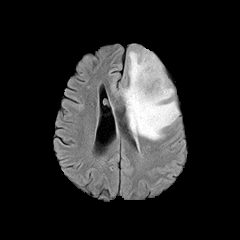
FLAIR magnetic resonance.
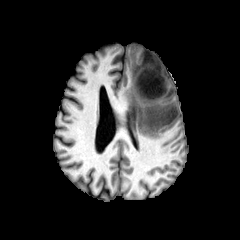
T1-weighted MR image.
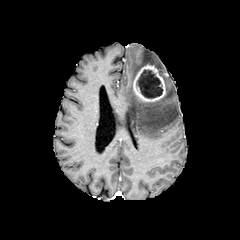
Post-contrast T1-weighted magnetic resonance.
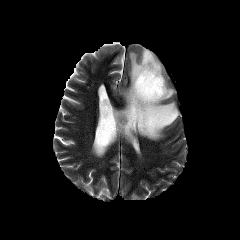
T2-weighted MRI.
Brain
Segmented structures:
• peritumoral edema: box(121, 48, 179, 140)
• enhancing tumor: box(133, 64, 165, 102)
• necrotic tumor core: box(137, 70, 162, 98)